FLAIR magnetic resonance.
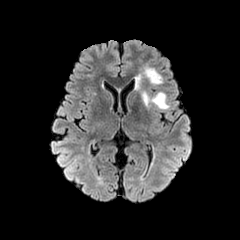
T1-weighted MRI.
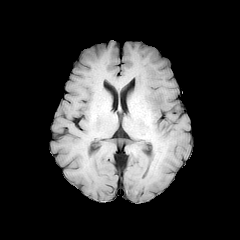
Post-contrast T1-weighted MR.
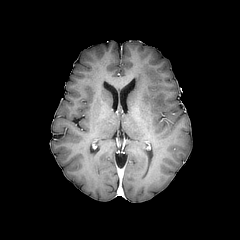
T2-weighted MR.
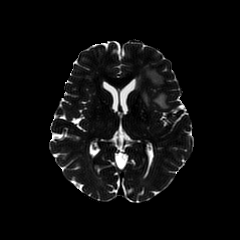
Head; 240x240 px
peritumoral edema: bbox=[143, 92, 168, 108]; bbox=[145, 68, 161, 84]; bbox=[135, 75, 141, 89]